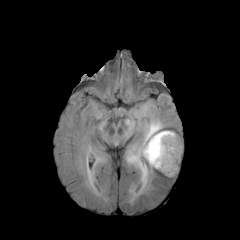
FLAIR MRI.
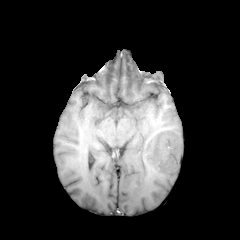
T1-weighted MR image.
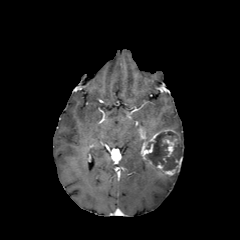
Post-contrast T1-weighted MRI.
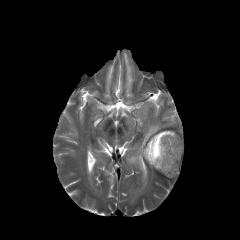
T2-weighted MRI of the same slice.
240x240
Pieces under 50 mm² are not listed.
The largest enhancing tumor region lies within <bbox>140, 129, 183, 175</bbox>. The 3 largest peritumoral edema regions are bounded by <bbox>136, 105, 148, 120</bbox>, <bbox>87, 171, 93, 185</bbox>, <bbox>126, 118, 164, 202</bbox>. The largest necrotic tumor core region is at <bbox>146, 131, 181, 170</bbox>.